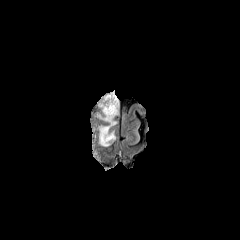
FLAIR MRI.
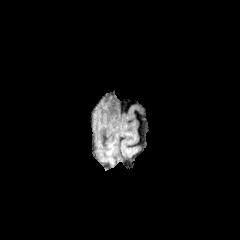
T1-weighted MR image.
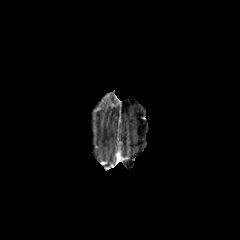
Same slice, post-contrast T1-weighted MR image.
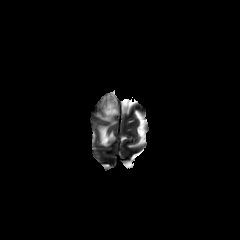
T2-weighted MRI.
Image size 240x240; Head
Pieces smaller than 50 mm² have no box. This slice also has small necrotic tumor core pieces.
The enhancing tumor appears at <box>99,94,118,109</box>. The largest peritumoral edema region is bounded by <box>99,107,117,146</box>.